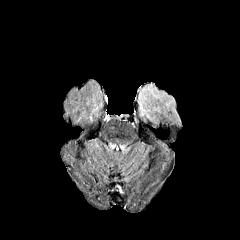
FLAIR magnetic resonance.
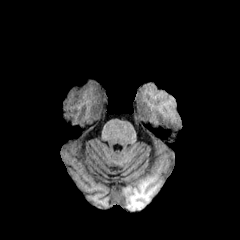
T1-weighted MR of the same slice.
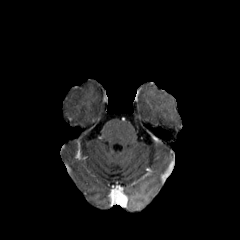
Post-contrast T1-weighted MR.
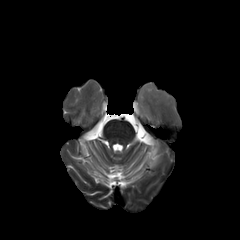
T2-weighted MR of the same slice.
240x240 | Axial view
The peritumoral edema is located at bbox(139, 85, 177, 121).